Image covers 240 mm x 240 mm, Axial slice
FLAIR MR image.
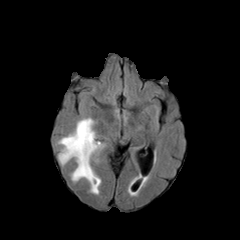
T1-weighted MR.
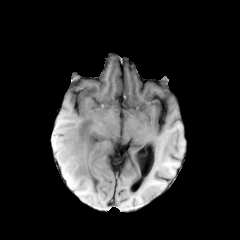
Post-contrast T1-weighted MR image.
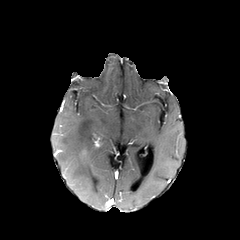
T2-weighted MR image.
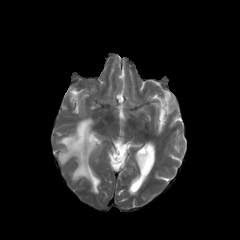
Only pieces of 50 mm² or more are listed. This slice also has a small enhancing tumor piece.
peritumoral_edema:
  - <box>58,118,103,193</box>